Image covers 240 mm x 240 mm | Axial view | Brain
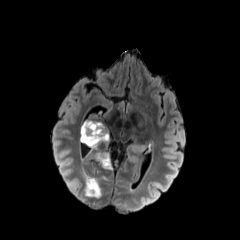
FLAIR MR.
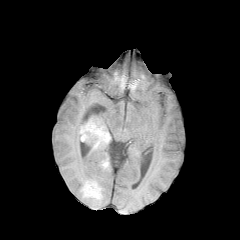
T1-weighted MR image.
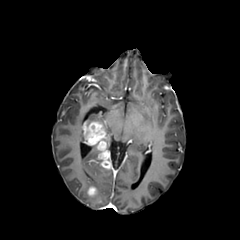
Post-contrast T1-weighted MR.
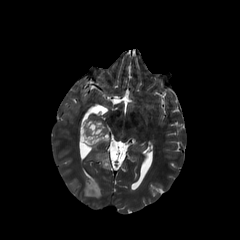
T2-weighted MRI.
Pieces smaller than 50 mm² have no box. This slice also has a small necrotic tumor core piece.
peritumoral edema — box(83, 173, 102, 198); box(105, 130, 110, 149)
enhancing tumor — box(87, 186, 98, 196); box(82, 121, 112, 169)